FLAIR MR.
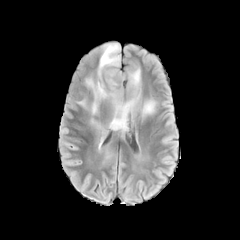
T1-weighted MRI.
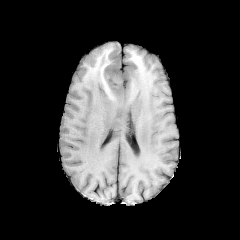
Post-contrast T1-weighted MR.
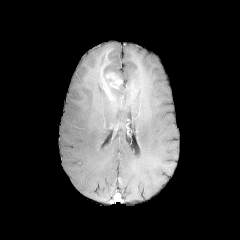
T2-weighted magnetic resonance.
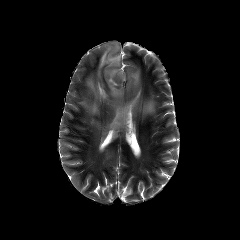
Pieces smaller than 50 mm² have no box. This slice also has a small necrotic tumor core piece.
The enhancing tumor appears at 105, 71, 122, 89. 2 peritumoral edema regions appear at 76, 43, 159, 145; 103, 147, 113, 162.